Image width 240 mm
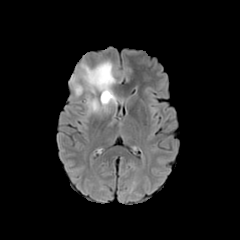
FLAIR MR image.
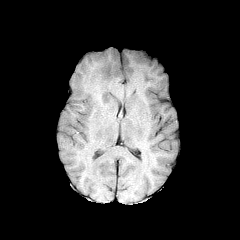
Same slice, T1-weighted MR image.
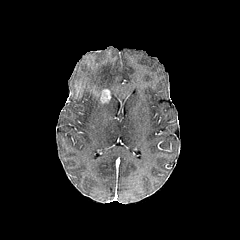
Post-contrast T1-weighted magnetic resonance of the same slice.
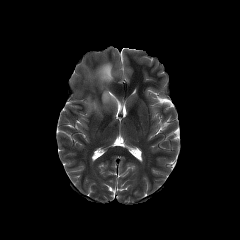
T2-weighted magnetic resonance.
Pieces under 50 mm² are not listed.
enhancing tumor = [101, 89, 110, 102]
peritumoral edema = [82, 62, 114, 94], [89, 99, 99, 110]